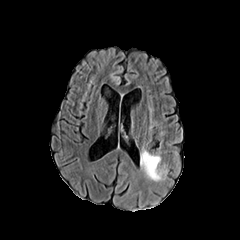
FLAIR MR.
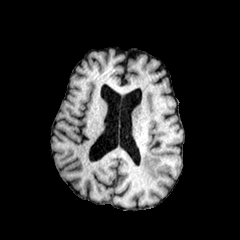
T1-weighted MRI.
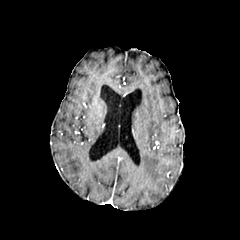
Same slice, post-contrast T1-weighted MRI.
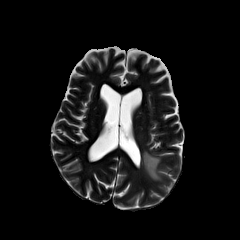
Same slice, T2-weighted MRI.
Brain | 240x240
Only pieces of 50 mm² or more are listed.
Annotated regions:
* peritumoral edema: bbox(140, 150, 166, 180)